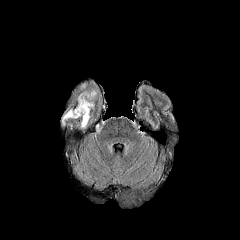
FLAIR magnetic resonance.
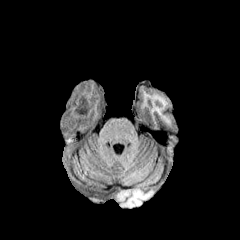
T1-weighted MR image.
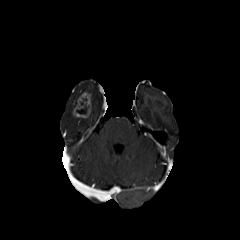
Post-contrast T1-weighted MRI.
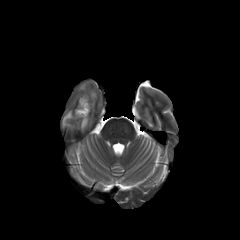
T2-weighted MRI.
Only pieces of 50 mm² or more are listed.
necrotic tumor core = 76:98:88:114
peritumoral edema = 62:109:76:125, 80:83:97:109, 81:115:89:128
enhancing tumor = 73:92:91:118